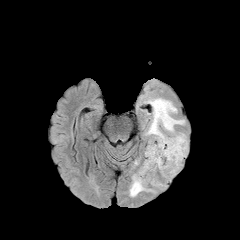
FLAIR magnetic resonance.
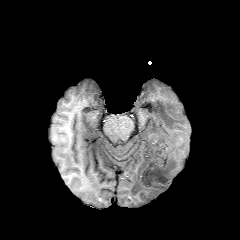
T1-weighted magnetic resonance.
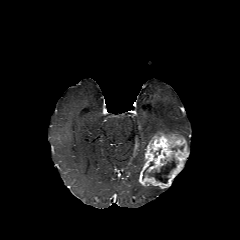
Same slice, post-contrast T1-weighted MR.
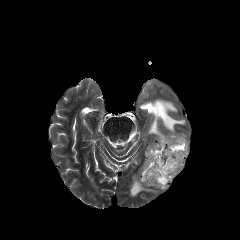
T2-weighted magnetic resonance.
Head. Image size 240x240. Axial view.
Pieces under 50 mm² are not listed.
The largest necrotic tumor core region is located at [149,158,176,183]. The enhancing tumor is located at [138,132,188,188]. The 2 largest peritumoral edema regions are located at [129,168,155,196], [145,98,187,143].